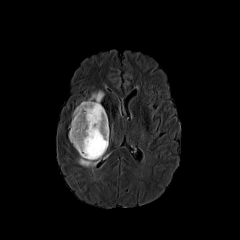
FLAIR MR.
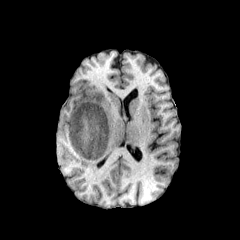
T1-weighted MRI.
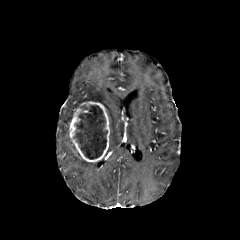
Post-contrast T1-weighted magnetic resonance.
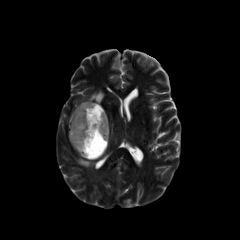
T2-weighted MR.
Head
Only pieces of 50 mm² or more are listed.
necrotic tumor core: <bbox>74, 105, 107, 159</bbox>
enhancing tumor: <bbox>69, 101, 109, 162</bbox>
peritumoral edema: <bbox>87, 90, 104, 102</bbox>, <bbox>78, 156, 97, 168</bbox>